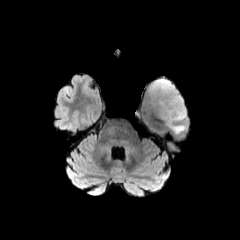
FLAIR MR.
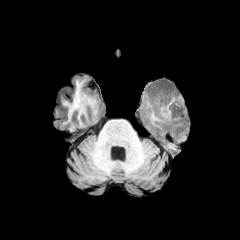
T1-weighted magnetic resonance of the same slice.
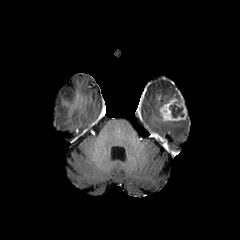
Same slice, post-contrast T1-weighted MR image.
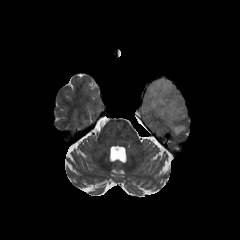
T2-weighted magnetic resonance.
240x240 px
necrotic tumor core: [169, 102, 184, 117] | peritumoral edema: [167, 121, 186, 134], [148, 79, 180, 114] | enhancing tumor: [155, 95, 186, 121]